Slice 103/155 | 240x240
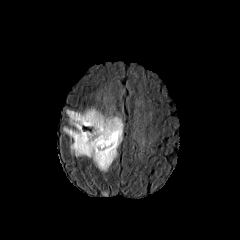
FLAIR MR.
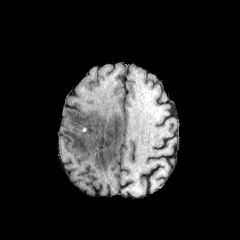
T1-weighted magnetic resonance.
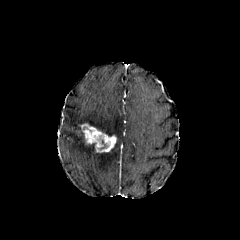
Post-contrast T1-weighted MR of the same slice.
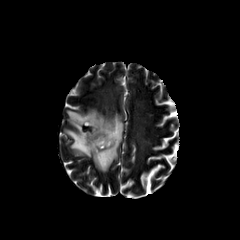
T2-weighted MR of the same slice.
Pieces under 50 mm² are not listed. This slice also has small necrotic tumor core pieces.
Annotated regions:
• peritumoral edema: [x1=62, y1=107, x2=123, y2=173]
• enhancing tumor: [x1=79, y1=123, x2=116, y2=152]